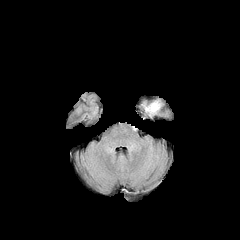
FLAIR MR image.
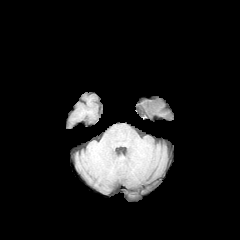
T1-weighted MR.
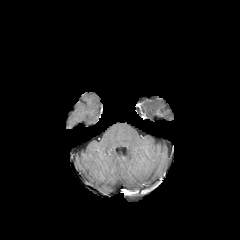
Post-contrast T1-weighted MRI.
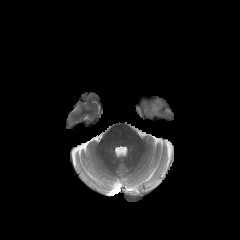
T2-weighted MR.
Head. 240x240.
The peritumoral edema lies within (143,100,162,116).